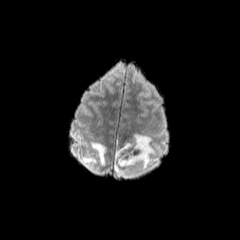
FLAIR magnetic resonance.
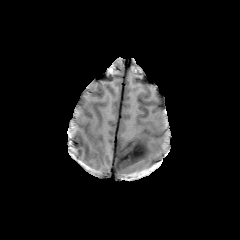
T1-weighted MR image.
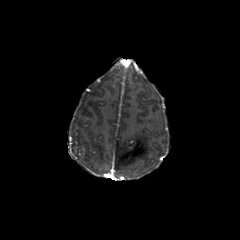
Post-contrast T1-weighted MRI.
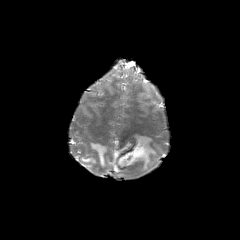
T2-weighted MR image.
Axial slice | Brain
peritumoral edema = [x1=81, y1=141, x2=106, y2=165], [x1=113, y1=134, x2=154, y2=175]